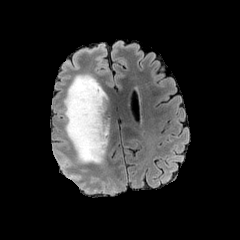
FLAIR MR.
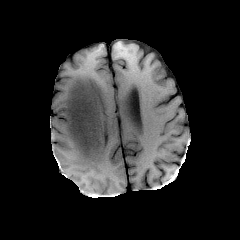
T1-weighted MRI.
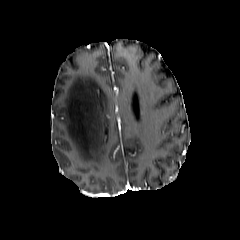
Post-contrast T1-weighted magnetic resonance.
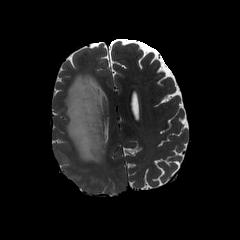
Same slice, T2-weighted MR image.
Axial slice
{
  "peritumoral_edema": [
    "64, 74, 110, 163"
  ]
}